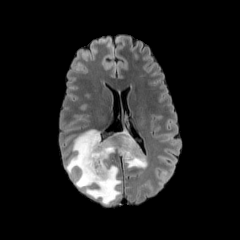
FLAIR MRI.
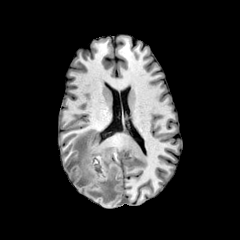
T1-weighted magnetic resonance of the same slice.
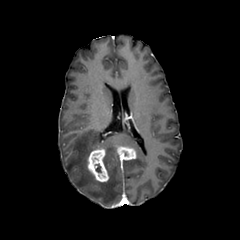
Post-contrast T1-weighted magnetic resonance of the same slice.
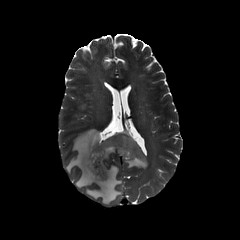
Same slice, T2-weighted MR image.
Axial plane | Head
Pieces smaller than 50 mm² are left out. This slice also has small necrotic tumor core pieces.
<segmentation>
  <peritumoral_edema>65 129 147 205</peritumoral_edema>
  <enhancing_tumor>87 147 108 182, 117 146 136 160</enhancing_tumor>
</segmentation>